FLAIR MR.
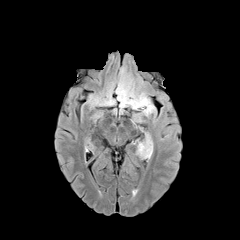
T1-weighted MR image.
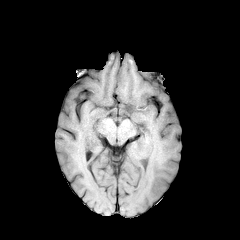
Post-contrast T1-weighted magnetic resonance.
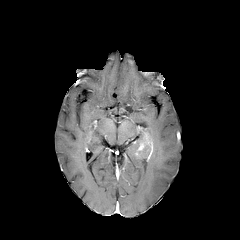
T2-weighted MR.
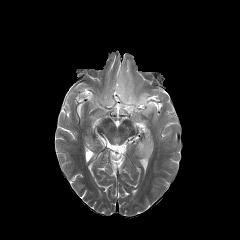
Brain
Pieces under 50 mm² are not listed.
peritumoral edema: 133,127,152,161; 117,80,155,121 | enhancing tumor: 138,134,152,158